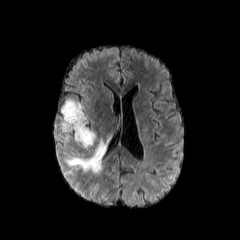
FLAIR MRI.
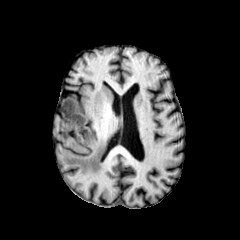
T1-weighted magnetic resonance.
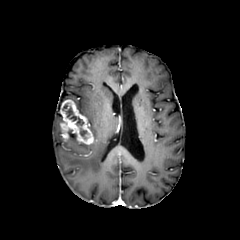
Post-contrast T1-weighted magnetic resonance of the same slice.
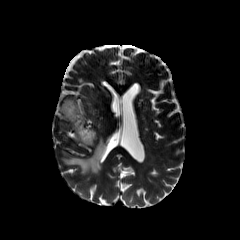
T2-weighted MRI of the same slice.
Head
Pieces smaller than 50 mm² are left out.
peritumoral edema: 64, 139, 106, 173; 74, 101, 84, 115 | necrotic tumor core: 80, 128, 86, 138; 66, 107, 83, 125 | enhancing tumor: 60, 99, 93, 144